Axial slice | Slice index 65 | Head
FLAIR MR.
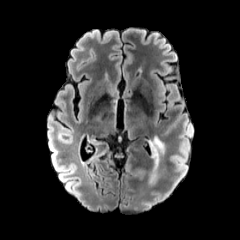
T1-weighted MRI.
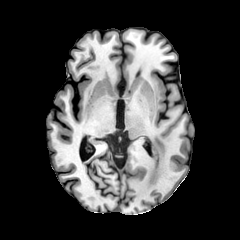
Post-contrast T1-weighted MR image.
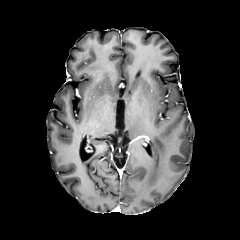
T2-weighted MR.
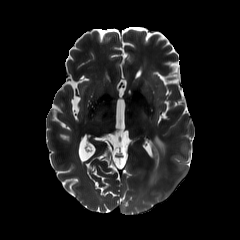
The peritumoral edema is at box=[149, 136, 164, 183].